240x240 px.
FLAIR MR.
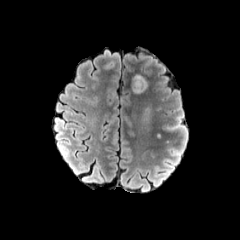
T1-weighted MR.
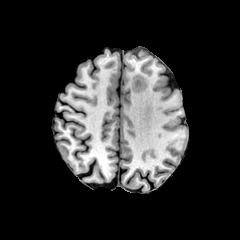
Post-contrast T1-weighted MRI.
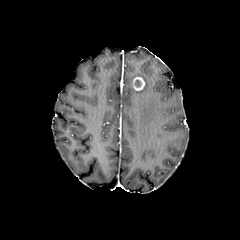
T2-weighted magnetic resonance.
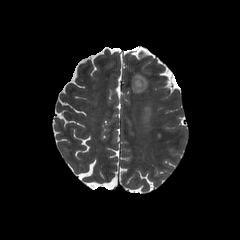
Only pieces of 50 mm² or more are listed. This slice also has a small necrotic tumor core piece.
The enhancing tumor lies within x1=132 y1=77 x2=145 y2=90. 2 peritumoral edema regions appear at x1=144 y1=107 x2=150 y2=121, x1=133 y1=75 x2=147 y2=93.